FLAIR magnetic resonance.
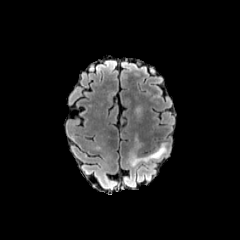
T1-weighted MRI.
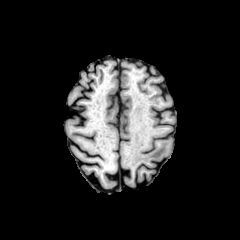
Post-contrast T1-weighted magnetic resonance.
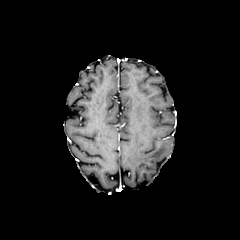
T2-weighted MRI.
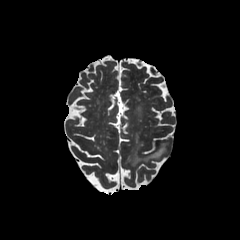
Head
The peritumoral edema is at {"x1": 126, "y1": 142, "x2": 168, "y2": 166}.